Slice 78 of 155; Image width 240 mm, 1.00 mm slice spacing; Brain
FLAIR MR image.
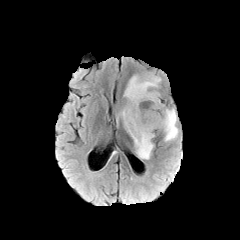
T1-weighted MR.
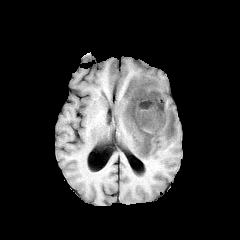
Post-contrast T1-weighted MR image.
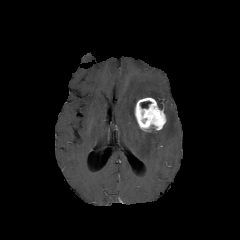
T2-weighted MRI.
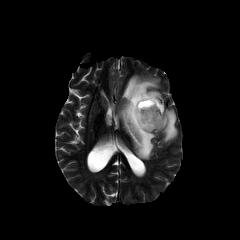
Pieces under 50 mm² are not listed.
necrotic tumor core: bounding box (left=140, top=101, right=150, bottom=108)
enhancing tumor: bounding box (left=134, top=97, right=166, bottom=131)
peritumoral edema: bounding box (left=162, top=107, right=178, bottom=142), (left=116, top=75, right=163, bottom=159)